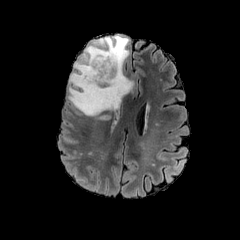
FLAIR MRI.
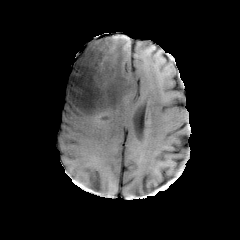
T1-weighted magnetic resonance.
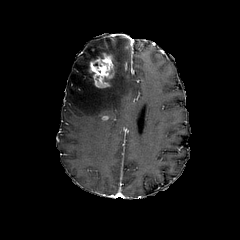
Post-contrast T1-weighted MR of the same slice.
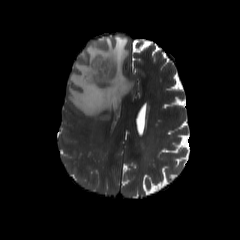
T2-weighted MRI.
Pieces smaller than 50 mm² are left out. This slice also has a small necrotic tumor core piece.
peritumoral edema: x1=68 y1=36 x2=133 y2=116
enhancing tumor: x1=88 y1=52 x2=114 y2=88